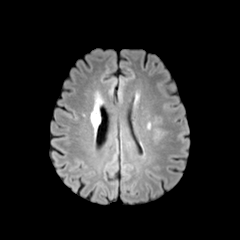
FLAIR MRI.
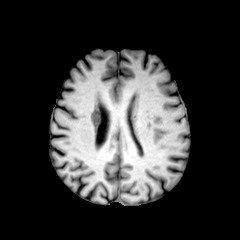
Same slice, T1-weighted MR image.
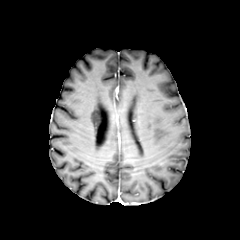
Post-contrast T1-weighted MR image.
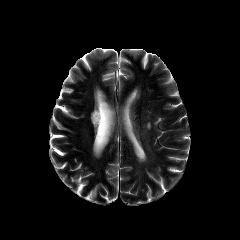
T2-weighted MR of the same slice.
{
  "peritumoral_edema": [
    "bbox=[91, 105, 101, 130]"
  ]
}